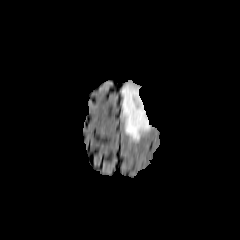
FLAIR MRI.
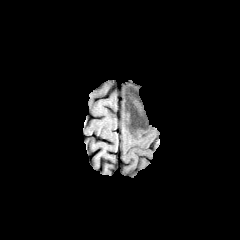
T1-weighted MR image of the same slice.
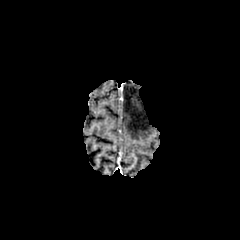
Post-contrast T1-weighted MR image.
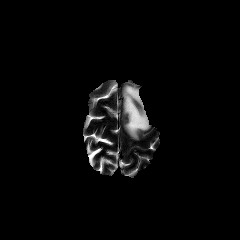
T2-weighted MR image of the same slice.
Head. Image size 240x240.
- peritumoral edema: (left=122, top=84, right=149, bottom=140)